Brain.
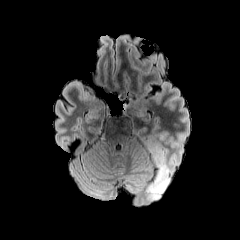
FLAIR MRI.
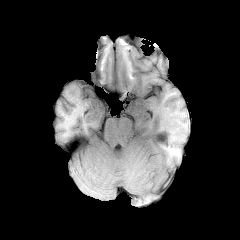
T1-weighted MRI of the same slice.
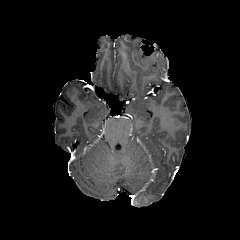
Same slice, post-contrast T1-weighted magnetic resonance.
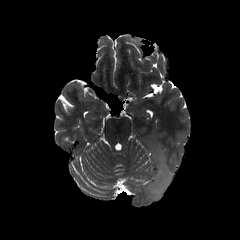
T2-weighted MRI of the same slice.
The peritumoral edema appears at (145,137,170,200).